FLAIR MRI.
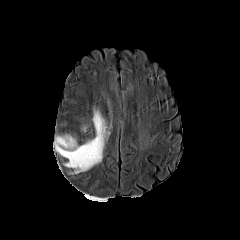
T1-weighted MR image.
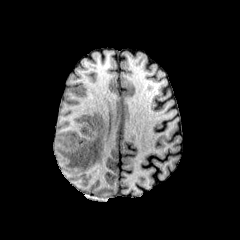
Post-contrast T1-weighted MR.
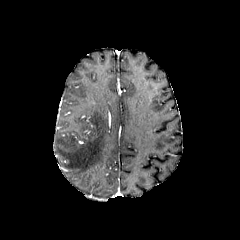
T2-weighted MRI.
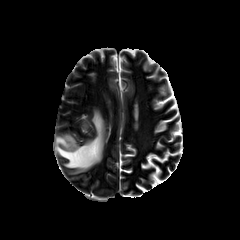
Brain. Axial plane.
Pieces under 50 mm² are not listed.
peritumoral edema: <bbox>55, 110, 106, 173</bbox>